FLAIR MR.
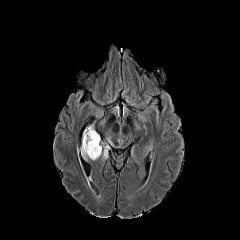
T1-weighted MR.
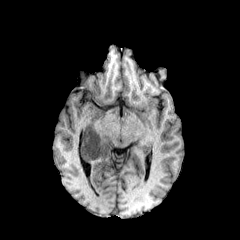
Post-contrast T1-weighted MR image.
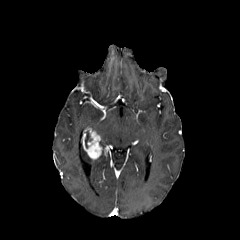
T2-weighted MRI.
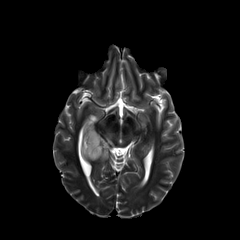
Axial plane
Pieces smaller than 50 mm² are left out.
enhancing tumor at [82, 127, 109, 159]
necrotic tumor core at [85, 131, 91, 148]
peritumoral edema at [81, 145, 90, 159]